Axial slice; Slice index 52; Brain
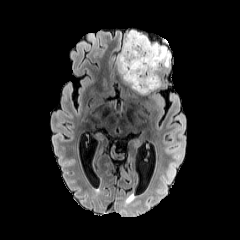
FLAIR MRI.
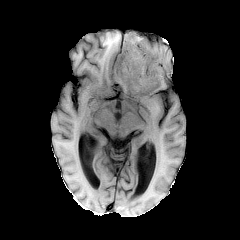
T1-weighted MR image.
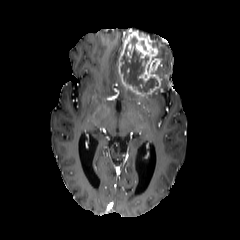
Post-contrast T1-weighted MR.
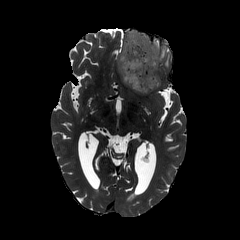
T2-weighted MR image.
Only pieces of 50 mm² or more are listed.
<segmentation>
  <enhancing_tumor>{"x1": 118, "y1": 31, "x2": 161, "y2": 95}</enhancing_tumor>
  <peritumoral_edema>{"x1": 151, "y1": 40, "x2": 170, "y2": 67}</peritumoral_edema>
  <necrotic_tumor_core>{"x1": 120, "y1": 44, "x2": 158, "y2": 93}</necrotic_tumor_core>
</segmentation>